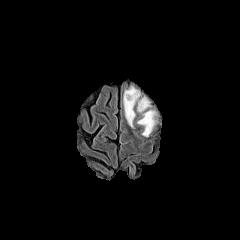
FLAIR MRI.
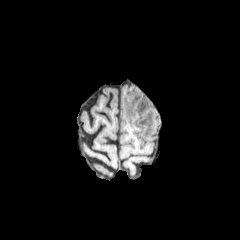
T1-weighted MRI of the same slice.
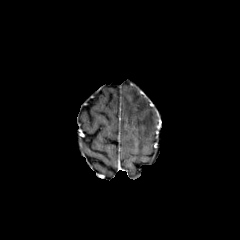
Post-contrast T1-weighted MRI.
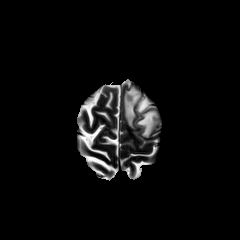
T2-weighted MR of the same slice.
Head; Image size 240x240
2 peritumoral edema regions are bounded by bbox(137, 110, 157, 137); bbox(123, 86, 149, 127).